Axial slice | Slice index 101 | Head
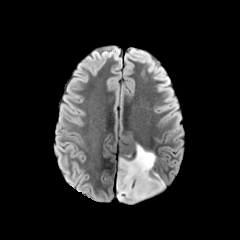
FLAIR MR image.
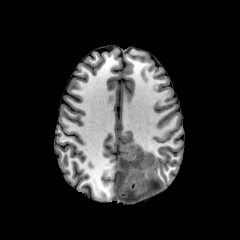
Same slice, T1-weighted magnetic resonance.
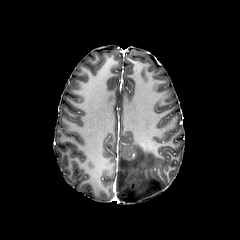
Post-contrast T1-weighted magnetic resonance of the same slice.
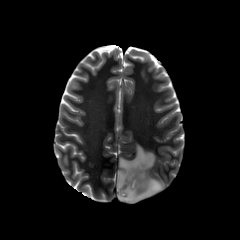
T2-weighted MR.
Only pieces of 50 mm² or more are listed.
peritumoral edema: rect(116, 144, 165, 203)